FLAIR magnetic resonance.
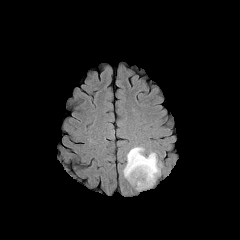
T1-weighted magnetic resonance.
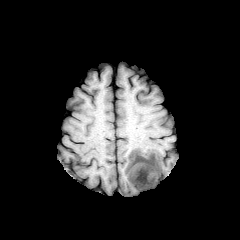
Post-contrast T1-weighted MRI.
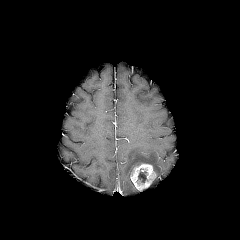
T2-weighted MR image.
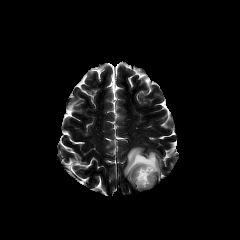
Brain; Axial view
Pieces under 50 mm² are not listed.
The largest peritumoral edema region is bounded by (123,146,161,185). The enhancing tumor is bounded by (130,163,156,190). The necrotic tumor core lies within (138,172,146,182).